Head. Slice 87 of 155.
FLAIR magnetic resonance.
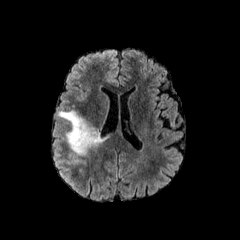
T1-weighted MR.
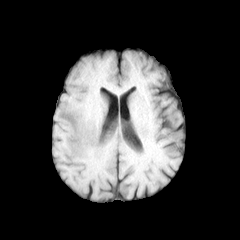
Post-contrast T1-weighted MR.
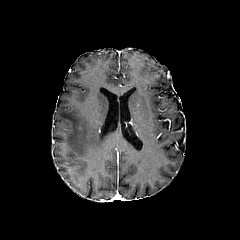
T2-weighted MR image.
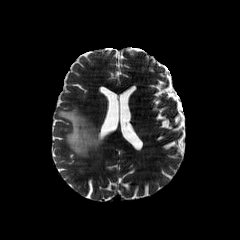
- peritumoral edema: [58, 111, 105, 155]